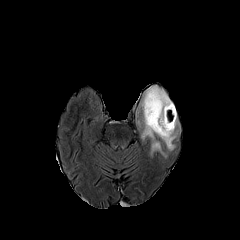
FLAIR MR image.
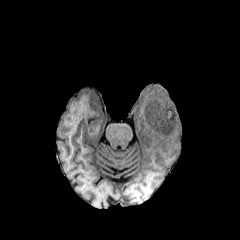
T1-weighted magnetic resonance of the same slice.
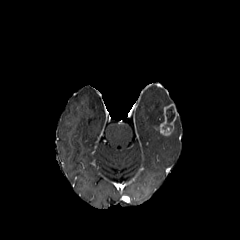
Post-contrast T1-weighted MRI.
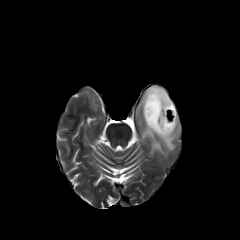
T2-weighted MRI.
Axial plane
enhancing tumor — 154:103:177:136
peritumoral edema — 140:86:179:156
necrotic tumor core — 166:106:174:125